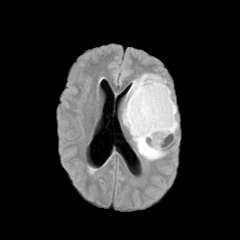
FLAIR MR image.
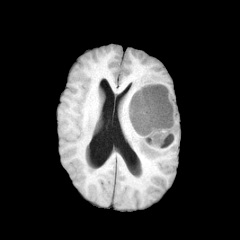
T1-weighted MRI.
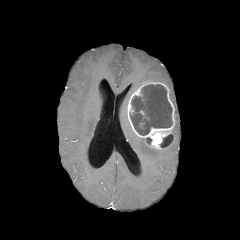
Post-contrast T1-weighted MRI.
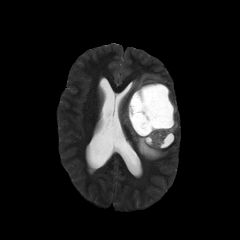
T2-weighted magnetic resonance.
Axial slice
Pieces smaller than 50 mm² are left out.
The 2 largest necrotic tumor core regions are bounded by rect(160, 134, 173, 147); rect(130, 84, 172, 135). The largest peritumoral edema region lies within rect(122, 73, 166, 160). The largest enhancing tumor region is located at rect(127, 81, 175, 149).